FLAIR MR.
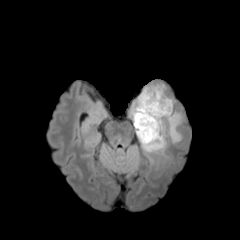
T1-weighted MR.
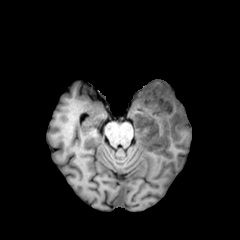
Post-contrast T1-weighted MR image.
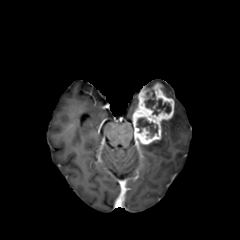
T2-weighted MRI.
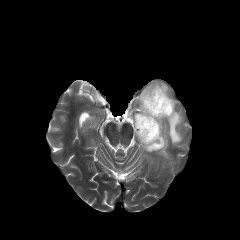
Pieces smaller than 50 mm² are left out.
necrotic tumor core: (left=137, top=118, right=157, bottom=136), (left=145, top=98, right=170, bottom=115)
peritumoral edema: (left=140, top=108, right=182, bottom=152), (left=130, top=98, right=138, bottom=116)
enhancing tumor: (left=132, top=83, right=174, bottom=144)